Image size 240x240, Slice 101/155, Brain
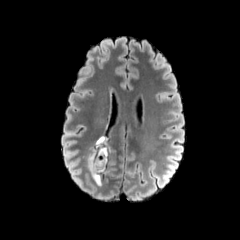
FLAIR MRI.
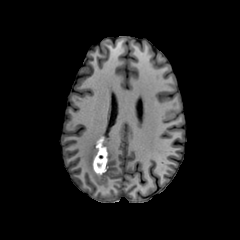
T1-weighted MR image of the same slice.
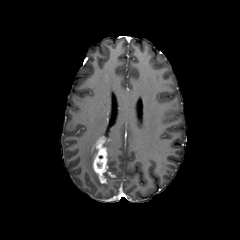
Post-contrast T1-weighted MR image.
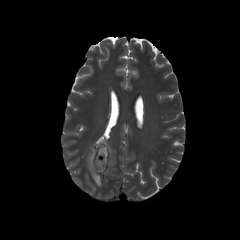
T2-weighted magnetic resonance of the same slice.
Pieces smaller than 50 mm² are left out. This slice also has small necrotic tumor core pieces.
enhancing tumor: bounding box [91,137,112,182]
peritumoral edema: bounding box [87,134,115,186]